FLAIR MR image.
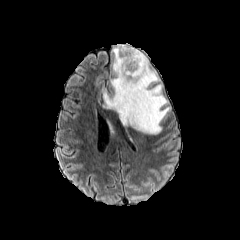
T1-weighted magnetic resonance.
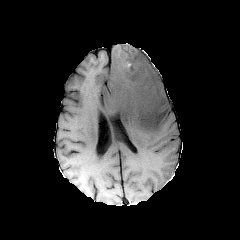
Post-contrast T1-weighted MRI.
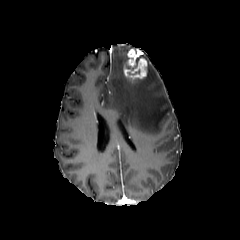
T2-weighted MR.
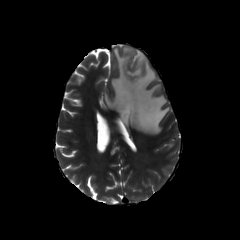
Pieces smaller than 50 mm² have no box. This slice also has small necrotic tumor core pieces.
Annotated regions:
* enhancing tumor: [123, 48, 147, 82]
* peritumoral edema: [103, 44, 170, 134]